Image width 240 mm; Brain; Slice 90/155; Axial plane
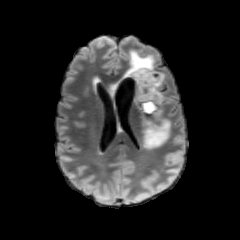
FLAIR magnetic resonance.
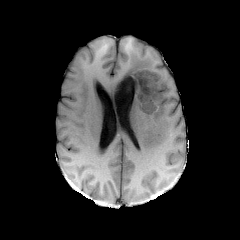
T1-weighted MR of the same slice.
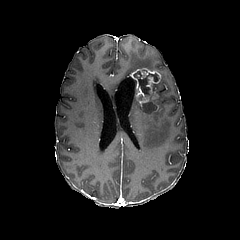
Post-contrast T1-weighted MR.
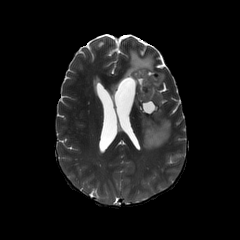
Same slice, T2-weighted MR.
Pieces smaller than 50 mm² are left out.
peritumoral edema — 154:72:164:104, 143:119:170:149, 107:49:155:96
enhancing tumor — 127:68:161:106
necrotic tumor core — 134:71:159:112